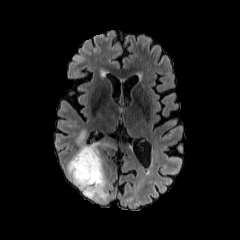
FLAIR MR image.
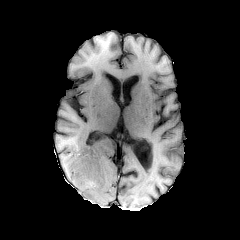
T1-weighted MR.
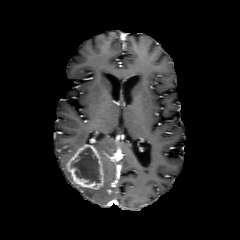
Same slice, post-contrast T1-weighted MR image.
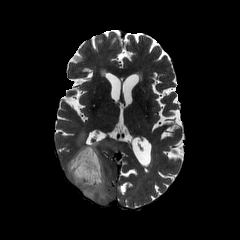
T2-weighted MR.
240x240. Brain.
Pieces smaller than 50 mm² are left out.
<segmentation>
  <enhancing_tumor>69,145,103,189</enhancing_tumor>
  <peritumoral_edema>77,131,84,147; 92,139,116,149; 66,157,109,202</peritumoral_edema>
  <necrotic_tumor_core>71,147,100,183</necrotic_tumor_core>
</segmentation>